240x240; Head; Axial slice
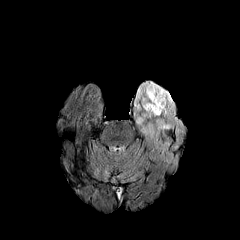
FLAIR MR image.
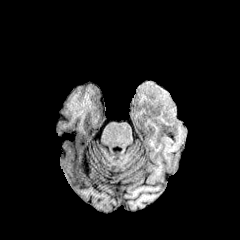
T1-weighted MR of the same slice.
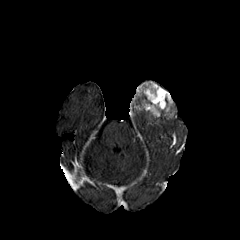
Post-contrast T1-weighted MRI.
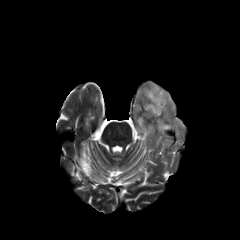
T2-weighted MR image of the same slice.
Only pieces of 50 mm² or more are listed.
The largest peritumoral edema region is bounded by 134:106:181:145. The largest enhancing tumor region appears at 134:81:174:119.